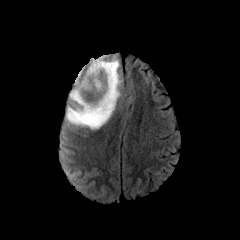
FLAIR MR.
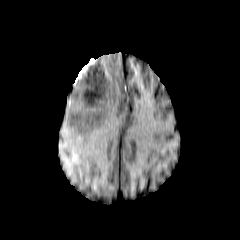
Same slice, T1-weighted MR image.
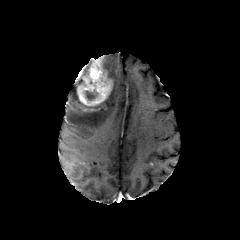
Same slice, post-contrast T1-weighted MRI.
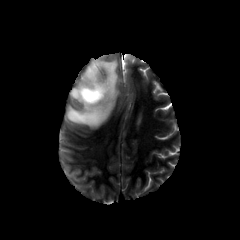
T2-weighted MR.
Image size 240x240 | Brain
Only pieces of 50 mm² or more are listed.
peritumoral edema at x1=66, y1=54, x2=122, y2=128
enhancing tumor at x1=76, y1=56, x2=112, y2=111